Axial slice, Head
FLAIR MRI.
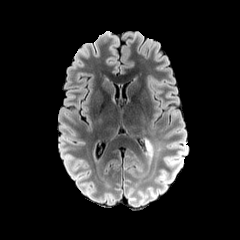
T1-weighted MR image.
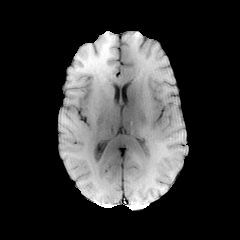
Post-contrast T1-weighted MRI.
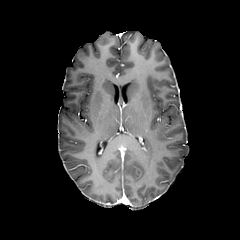
T2-weighted magnetic resonance.
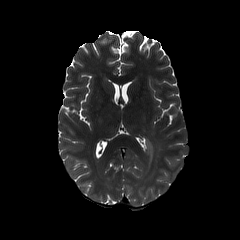
<segmentation>
  <peritumoral_edema>146 141 151 153</peritumoral_edema>
</segmentation>